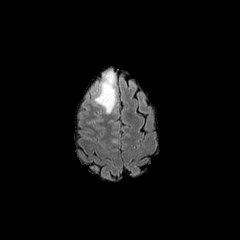
FLAIR MR image.
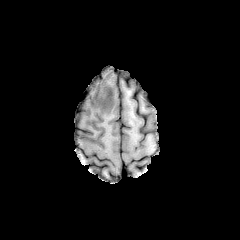
Same slice, T1-weighted magnetic resonance.
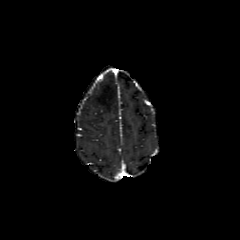
Same slice, post-contrast T1-weighted MR.
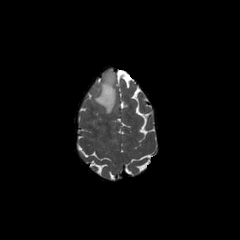
Same slice, T2-weighted MR image.
The peritumoral edema lies within <box>94,70,116,113</box>.